Image width 240 mm, 240x240 px, Brain
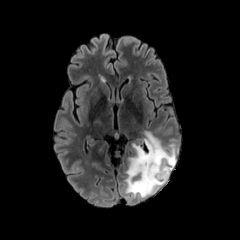
FLAIR MR image.
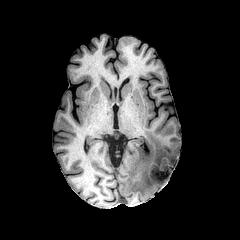
T1-weighted magnetic resonance of the same slice.
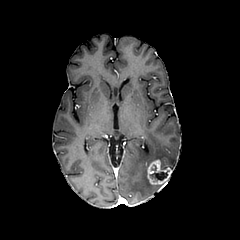
Same slice, post-contrast T1-weighted MRI.
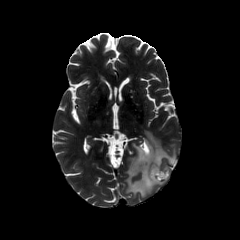
Same slice, T2-weighted MR.
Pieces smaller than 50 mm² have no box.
enhancing tumor — (147,159,172,185)
necrotic tumor core — (150,170,168,180)
peritumoral edema — (126,131,176,197)